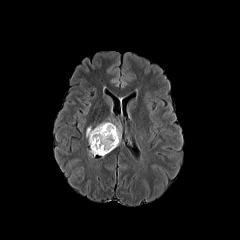
FLAIR MRI.
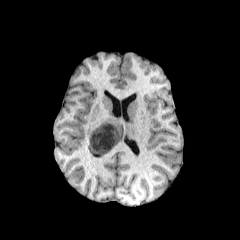
T1-weighted MR.
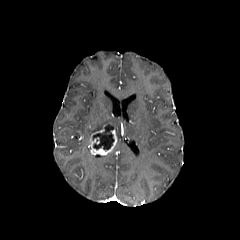
Post-contrast T1-weighted MR.
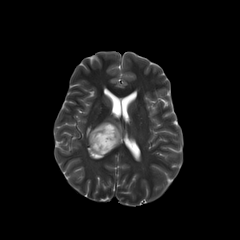
T2-weighted MR.
Brain. Axial slice.
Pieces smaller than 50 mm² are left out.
The largest peritumoral edema region is bounded by 86:122:121:146. The largest enhancing tumor region appears at 89:124:117:155. The necrotic tumor core is bounded by 92:126:114:150.